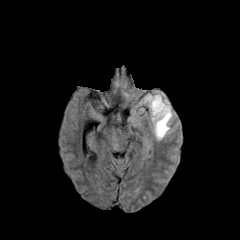
FLAIR MR image.
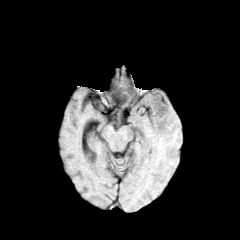
Same slice, T1-weighted MR.
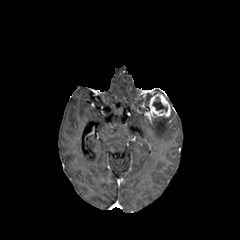
Post-contrast T1-weighted magnetic resonance.
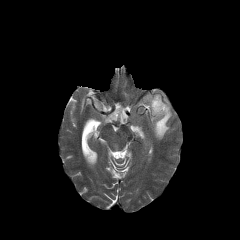
T2-weighted magnetic resonance.
240x240 px | Axial plane | Brain
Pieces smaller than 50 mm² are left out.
The 2 largest peritumoral edema regions are bounded by <box>151,110,172,139</box>, <box>142,94,151,105</box>. The enhancing tumor is located at <box>146,90,170,120</box>. The necrotic tumor core is at <box>153,97,167,111</box>.